Image width 240 mm, 1.00 mm slice spacing, Head
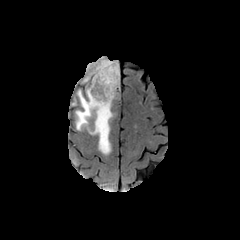
FLAIR MR image.
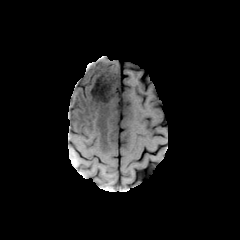
T1-weighted MR of the same slice.
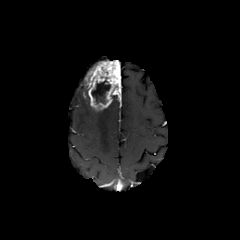
Post-contrast T1-weighted MR of the same slice.
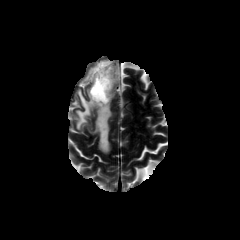
T2-weighted magnetic resonance of the same slice.
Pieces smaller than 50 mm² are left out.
The enhancing tumor lies within (84, 60, 121, 111). The 2 largest peritumoral edema regions appear at (85, 58, 108, 75), (71, 88, 115, 155). The necrotic tumor core is at (91, 81, 110, 102).